Axial slice, Slice 111/155, Head
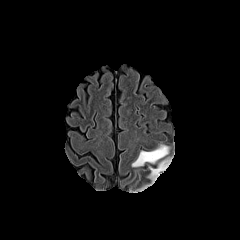
FLAIR MR image.
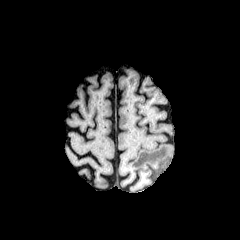
T1-weighted magnetic resonance of the same slice.
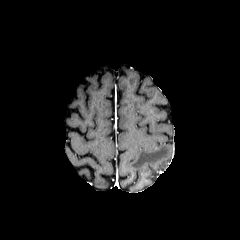
Same slice, post-contrast T1-weighted magnetic resonance.
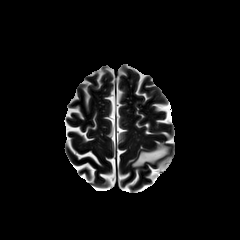
T2-weighted MRI.
The peritumoral edema is bounded by (x1=132, y1=145, x2=171, y2=182).